Slice index 55
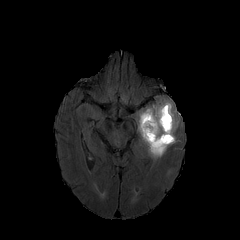
FLAIR MR.
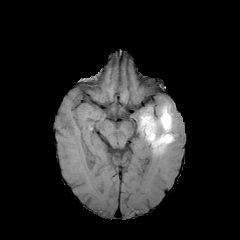
Same slice, T1-weighted MR.
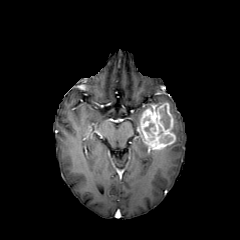
Same slice, post-contrast T1-weighted MR image.
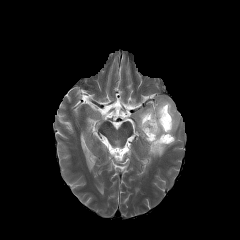
T2-weighted MR of the same slice.
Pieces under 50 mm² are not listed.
necrotic_tumor_core:
  - (x1=161, y1=106, x2=170, y2=129)
  - (x1=160, y1=135, x2=172, y2=142)
enhancing_tumor:
  - (x1=138, y1=102, x2=175, y2=149)
peritumoral_edema:
  - (x1=136, y1=105, x2=152, y2=126)
  - (x1=148, y1=145, x2=170, y2=158)
  - (x1=153, y1=97, x2=179, y2=133)